Axial slice
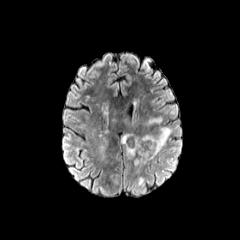
FLAIR MR.
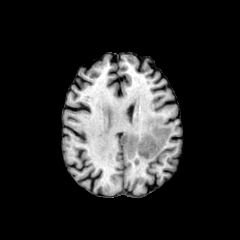
Same slice, T1-weighted magnetic resonance.
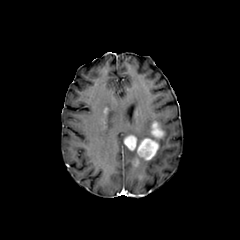
Post-contrast T1-weighted MRI.
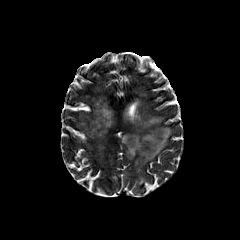
Same slice, T2-weighted MR image.
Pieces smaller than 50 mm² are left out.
The 3 largest enhancing tumor regions are located at [x1=124, y1=135, x2=136, y2=150], [x1=151, y1=121, x2=164, y2=138], [x1=137, y1=138, x2=158, y2=160]. The 2 largest peritumoral edema regions appear at [x1=146, y1=117, x2=162, y2=126], [x1=126, y1=127, x2=172, y2=159].